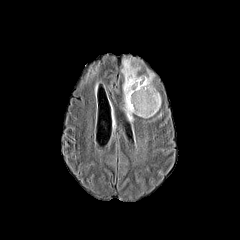
FLAIR magnetic resonance.
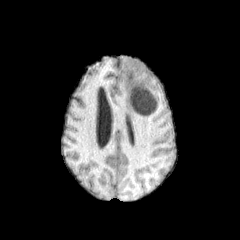
T1-weighted MR image of the same slice.
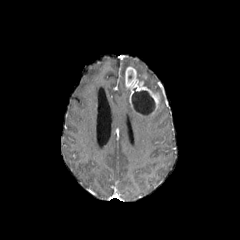
Same slice, post-contrast T1-weighted MR image.
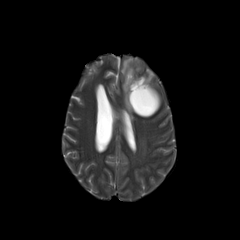
T2-weighted MR of the same slice.
Head
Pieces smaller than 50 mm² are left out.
necrotic tumor core: bounding box bbox(132, 88, 155, 115)
enhancing tumor: bounding box bbox(125, 66, 159, 116)
peritumoral edema: bounding box bbox(123, 83, 133, 120); bbox(121, 59, 132, 75); bbox(137, 72, 158, 94)